FLAIR MR image.
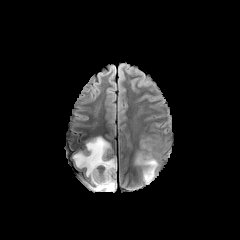
T1-weighted MR.
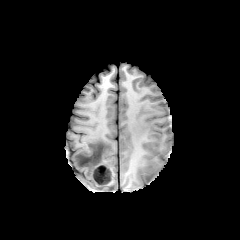
Post-contrast T1-weighted magnetic resonance.
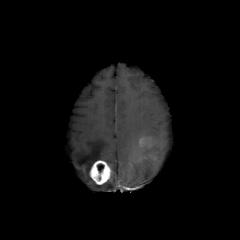
T2-weighted magnetic resonance.
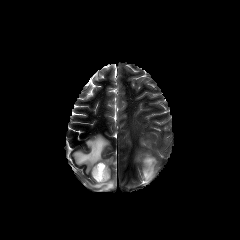
Axial view, Head
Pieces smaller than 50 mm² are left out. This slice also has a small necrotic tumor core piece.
enhancing_tumor:
  - box(140, 156, 155, 169)
  - box(89, 160, 111, 184)
peritumoral_edema:
  - box(73, 136, 116, 191)
  - box(141, 139, 150, 148)
  - box(136, 153, 158, 184)